240x240 px, Axial view, Slice index 117
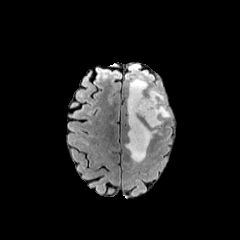
FLAIR MR image.
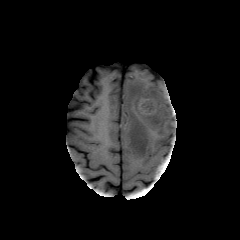
Same slice, T1-weighted magnetic resonance.
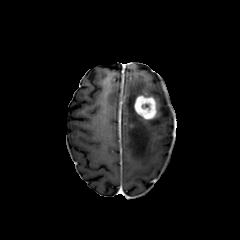
Post-contrast T1-weighted magnetic resonance of the same slice.
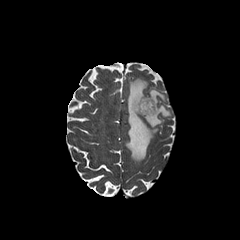
Same slice, T2-weighted MR.
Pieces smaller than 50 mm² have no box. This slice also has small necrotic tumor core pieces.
enhancing tumor at rect(134, 95, 157, 119)
peritumoral edema at rect(126, 78, 171, 162)